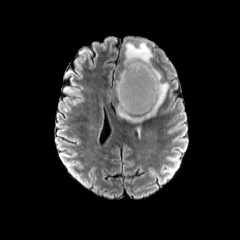
FLAIR MR image.
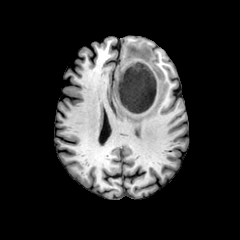
T1-weighted MR.
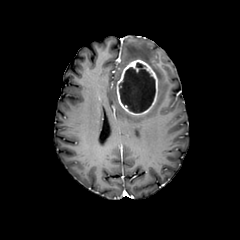
Post-contrast T1-weighted magnetic resonance.
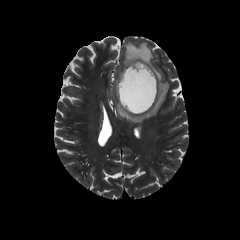
T2-weighted MR.
Head, Axial plane
peritumoral_edema:
  - bbox=[117, 41, 168, 122]
enhancing_tumor:
  - bbox=[116, 59, 157, 115]
necrotic_tumor_core:
  - bbox=[119, 63, 155, 112]